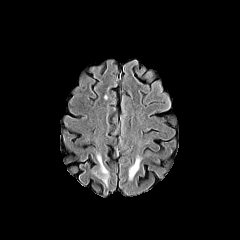
FLAIR magnetic resonance.
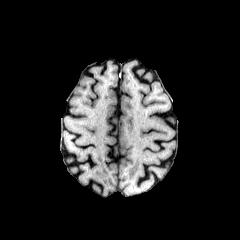
Same slice, T1-weighted MRI.
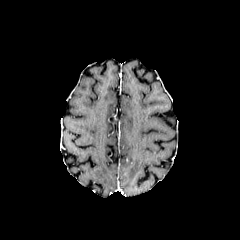
Post-contrast T1-weighted MRI.
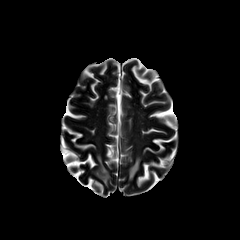
T2-weighted magnetic resonance.
Axial slice; Head
peritumoral edema = rect(97, 154, 109, 185); rect(129, 157, 140, 179)